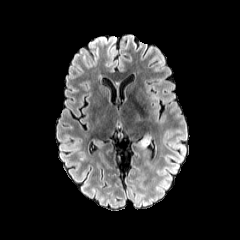
FLAIR magnetic resonance.
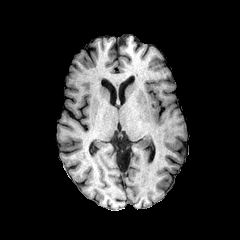
T1-weighted MRI.
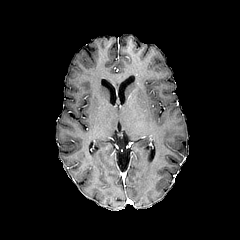
Post-contrast T1-weighted MRI.
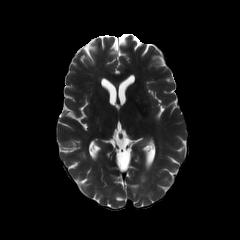
T2-weighted magnetic resonance.
Head. Image size 240x240.
peritumoral_edema:
  - <box>139,135,150,147</box>